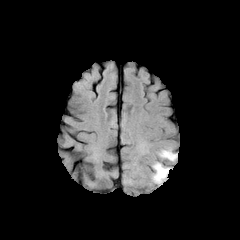
FLAIR MR.
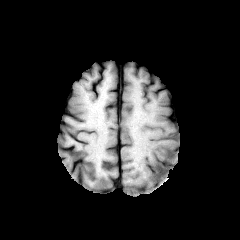
T1-weighted MR image.
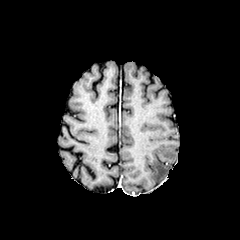
Same slice, post-contrast T1-weighted MRI.
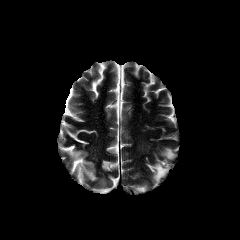
T2-weighted MR image of the same slice.
Brain. 240x240.
peritumoral edema = box(152, 163, 169, 183); box(160, 149, 177, 160)